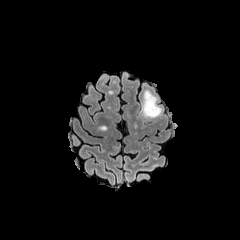
FLAIR MRI.
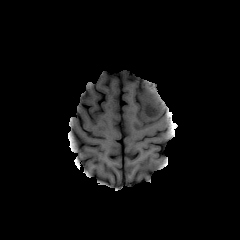
T1-weighted MR.
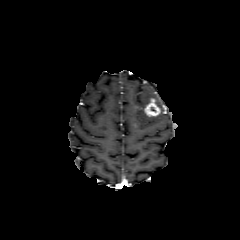
Post-contrast T1-weighted MRI of the same slice.
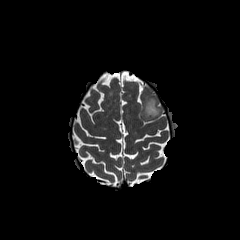
Same slice, T2-weighted MRI.
Axial view
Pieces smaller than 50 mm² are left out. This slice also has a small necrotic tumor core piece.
enhancing tumor: {"x1": 144, "y1": 98, "x2": 160, "y2": 116}
peritumoral edema: {"x1": 140, "y1": 91, "x2": 157, "y2": 117}